Image width 240 mm. Brain.
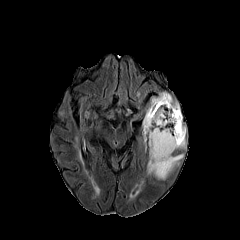
FLAIR MRI.
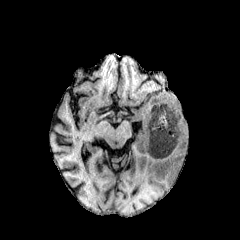
T1-weighted magnetic resonance.
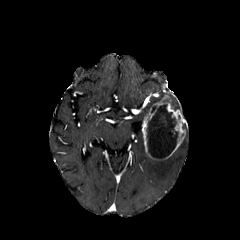
Post-contrast T1-weighted MR image.
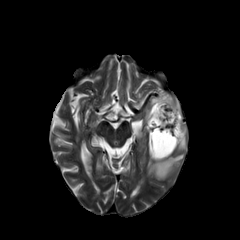
T2-weighted MR image.
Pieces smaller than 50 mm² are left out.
necrotic_tumor_core:
  - 147 104 178 158
enhancing_tumor:
  - 142 94 185 159
peritumoral_edema:
  - 146 92 180 113
  - 177 137 186 149
  - 147 154 183 179